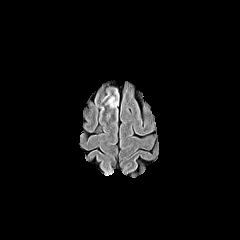
FLAIR MRI.
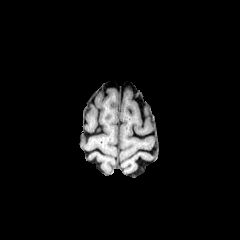
Same slice, T1-weighted magnetic resonance.
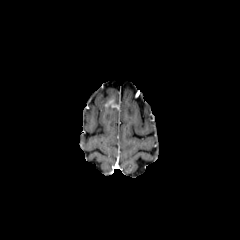
Same slice, post-contrast T1-weighted MR image.
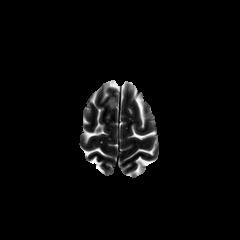
T2-weighted magnetic resonance.
Axial slice; Brain
{"enhancing_tumor": ["(x1=108, y1=98, x2=117, y2=108)"], "peritumoral_edema": ["(x1=105, y1=90, x2=118, y2=108)"]}